240x240 px. Axial plane. Slice 60/155.
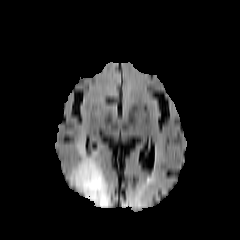
FLAIR MRI.
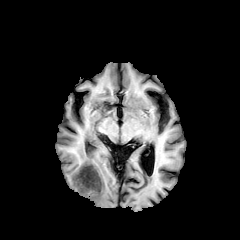
T1-weighted MR of the same slice.
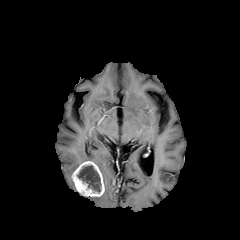
Post-contrast T1-weighted magnetic resonance.
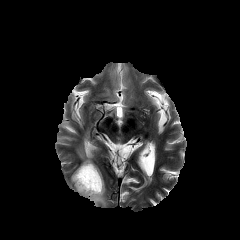
Same slice, T2-weighted MRI.
The necrotic tumor core is at bbox(77, 165, 100, 192). The peritumoral edema appears at bbox(70, 140, 110, 207). The enhancing tumor is bounded by bbox(71, 161, 104, 196).